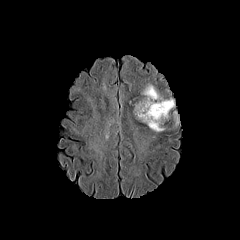
FLAIR magnetic resonance.
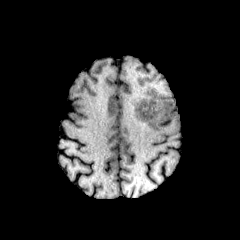
T1-weighted magnetic resonance.
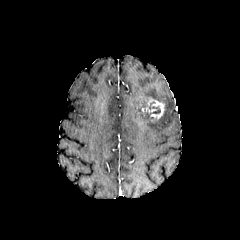
Post-contrast T1-weighted MR image of the same slice.
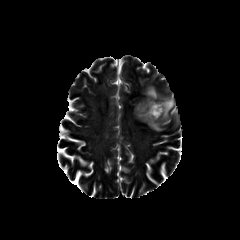
Same slice, T2-weighted MR image.
Brain; 240x240
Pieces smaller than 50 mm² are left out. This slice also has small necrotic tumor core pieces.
peritumoral_edema:
  - (x1=134, y1=85, x2=174, y2=131)
enhancing_tumor:
  - (x1=141, y1=98, x2=164, y2=121)